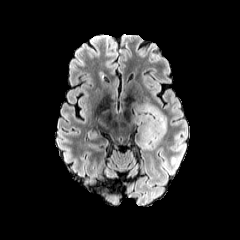
FLAIR MR image.
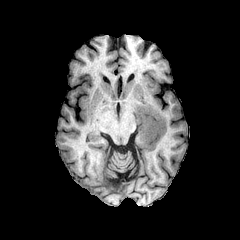
T1-weighted MR.
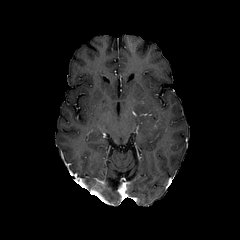
Same slice, post-contrast T1-weighted MR image.
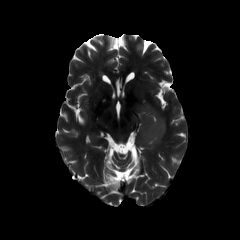
Same slice, T2-weighted magnetic resonance.
Head
Segmented structures:
• peritumoral edema: x1=134 y1=101 x2=167 y2=150